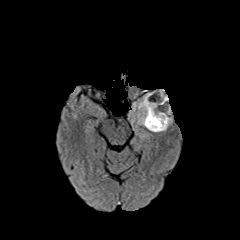
FLAIR magnetic resonance.
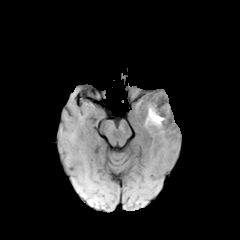
T1-weighted magnetic resonance of the same slice.
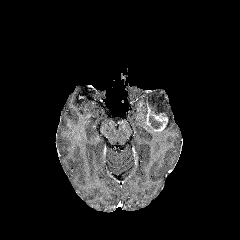
Post-contrast T1-weighted MR.
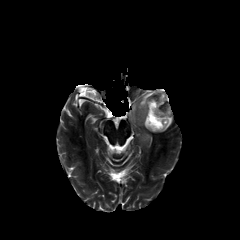
T2-weighted MRI.
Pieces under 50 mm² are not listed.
2 necrotic tumor core regions are bounded by bbox=[149, 115, 161, 128]; bbox=[148, 92, 167, 115]. 2 peritumoral edema regions are bounded by bbox=[129, 89, 164, 132]; bbox=[162, 98, 172, 131]. The largest enhancing tumor region is located at bbox=[145, 103, 168, 131].